Axial view
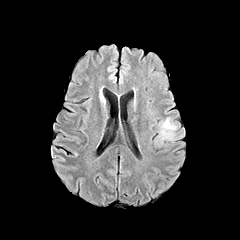
FLAIR MRI.
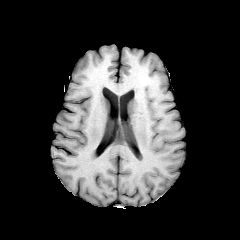
T1-weighted MR image.
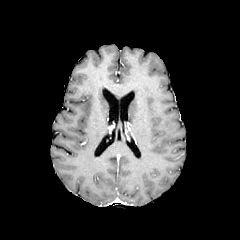
Post-contrast T1-weighted MR image of the same slice.
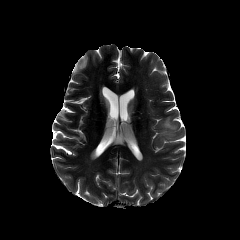
Same slice, T2-weighted magnetic resonance.
The peritumoral edema lies within [160, 118, 176, 138].